FLAIR MRI.
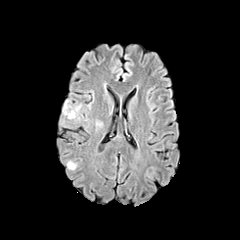
T1-weighted MRI.
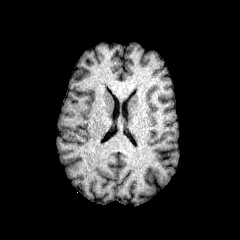
Post-contrast T1-weighted MR image.
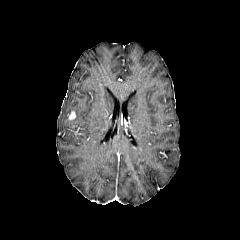
T2-weighted MR.
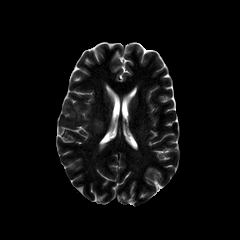
Axial view, Brain
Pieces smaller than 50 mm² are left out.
enhancing tumor — 68, 111, 75, 119
peritumoral edema — 63, 100, 82, 120; 67, 161, 77, 170